FLAIR MR.
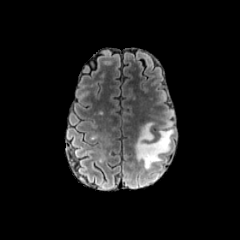
T1-weighted MR image.
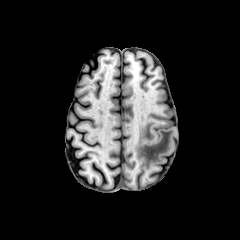
Post-contrast T1-weighted MRI.
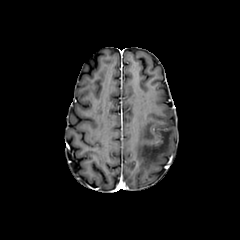
T2-weighted MRI.
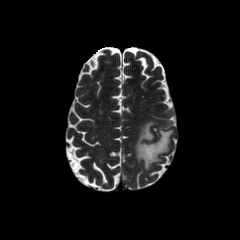
Brain
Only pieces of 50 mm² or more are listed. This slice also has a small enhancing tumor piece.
peritumoral edema: bbox(134, 120, 174, 168)